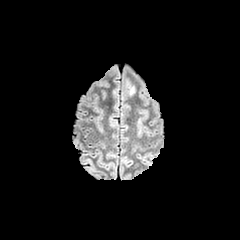
FLAIR MR image.
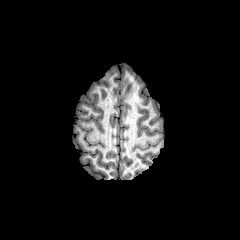
Same slice, T1-weighted MR.
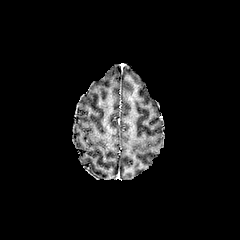
Post-contrast T1-weighted MR.
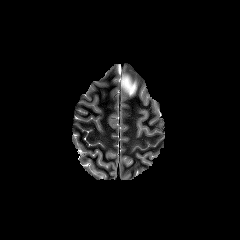
Same slice, T2-weighted MR image.
Head, Axial view, Image size 240x240
peritumoral edema: x1=124 y1=79 x2=134 y2=95